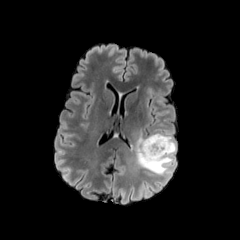
FLAIR MRI.
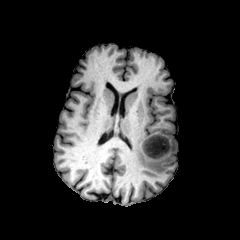
T1-weighted magnetic resonance of the same slice.
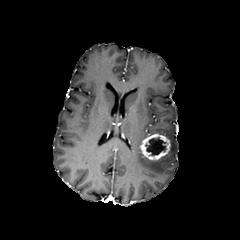
Same slice, post-contrast T1-weighted MR.
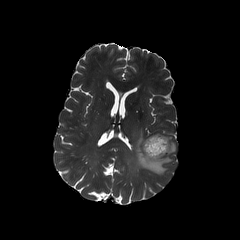
T2-weighted MR image.
Axial slice; Brain
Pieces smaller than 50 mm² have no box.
The enhancing tumor is at box=[140, 134, 170, 160]. The necrotic tumor core lies within box=[144, 137, 166, 156]. The largest peritumoral edema region is bounded by box=[133, 128, 176, 174].